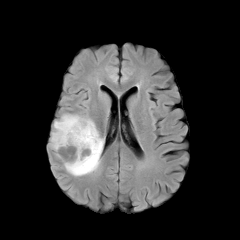
FLAIR magnetic resonance.
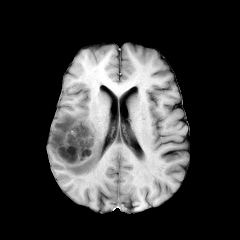
T1-weighted MR.
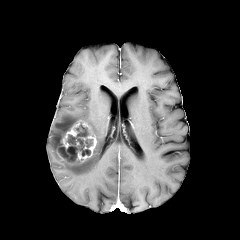
Post-contrast T1-weighted MR.
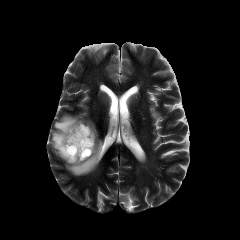
T2-weighted MR.
Brain.
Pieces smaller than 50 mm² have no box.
{
  "necrotic_tumor_core": [
    "left=58, top=123, right=92, bottom=162"
  ],
  "enhancing_tumor": [
    "left=56, top=120, right=96, bottom=164"
  ],
  "peritumoral_edema": [
    "left=50, top=114, right=103, bottom=176"
  ]
}